Brain; Slice 87/155
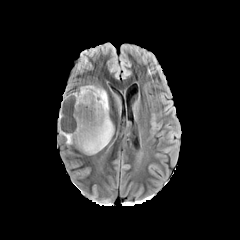
FLAIR MR.
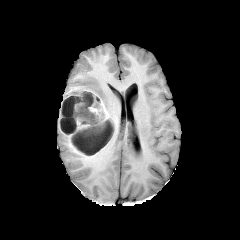
T1-weighted MR image of the same slice.
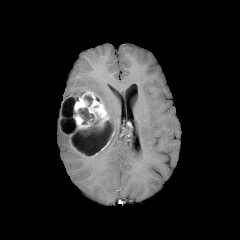
Same slice, post-contrast T1-weighted MR.
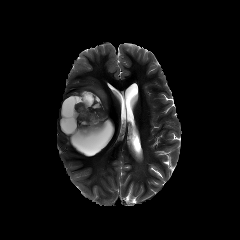
T2-weighted magnetic resonance.
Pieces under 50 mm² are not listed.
enhancing_tumor:
  - l=58, t=91, r=114, b=155
peritumoral_edema:
  - l=79, t=85, r=108, b=115
necrotic_tumor_core:
  - l=62, t=95, r=78, b=116
  - l=84, t=95, r=92, b=106
  - l=60, t=118, r=76, b=133
  - l=78, t=108, r=94, b=124
  - l=71, t=119, r=113, b=153